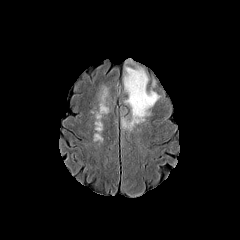
FLAIR MR.
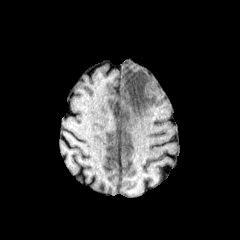
T1-weighted magnetic resonance.
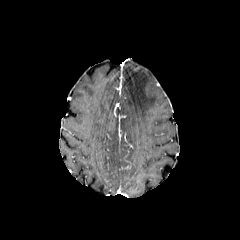
Post-contrast T1-weighted MR image.
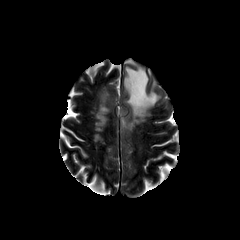
Same slice, T2-weighted MRI.
Axial view | Head
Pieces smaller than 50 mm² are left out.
peritumoral edema = <bbox>121, 65, 159, 129</bbox>, <bbox>102, 85, 107, 102</bbox>